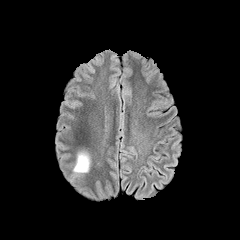
FLAIR MR image.
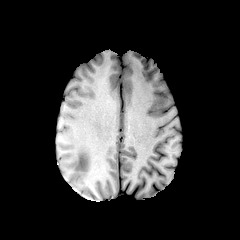
Same slice, T1-weighted MR.
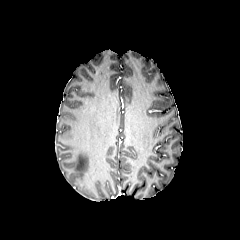
Post-contrast T1-weighted MRI.
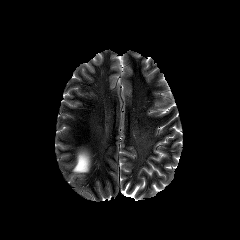
Same slice, T2-weighted magnetic resonance.
Axial view; 240x240 px
The peritumoral edema is at left=73, top=152, right=90, bottom=172.